Axial slice. Head.
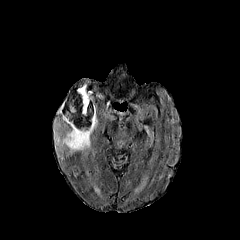
FLAIR magnetic resonance.
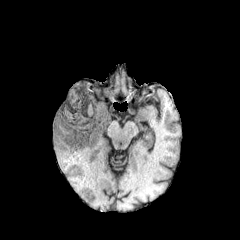
T1-weighted magnetic resonance.
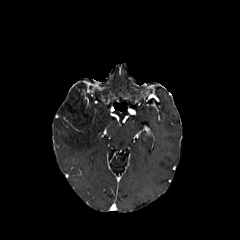
Post-contrast T1-weighted MR.
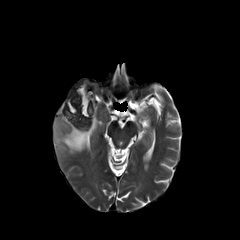
T2-weighted MR image.
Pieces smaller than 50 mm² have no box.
The largest peritumoral edema region lies within bbox=[54, 113, 97, 153]. The 2 largest enhancing tumor regions are located at bbox=[81, 90, 90, 107]; bbox=[63, 116, 81, 131]. The necrotic tumor core appears at bbox=[62, 82, 95, 130].